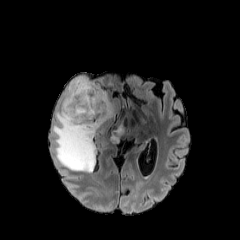
FLAIR MR image.
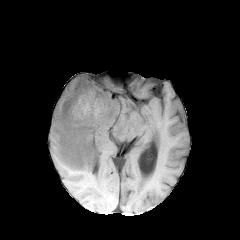
T1-weighted MRI.
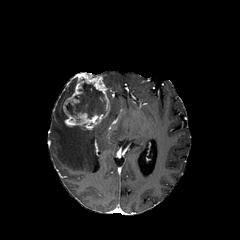
Post-contrast T1-weighted magnetic resonance.
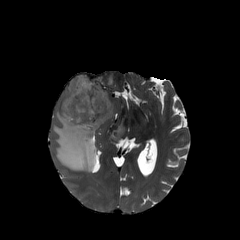
T2-weighted magnetic resonance of the same slice.
Axial plane. Head.
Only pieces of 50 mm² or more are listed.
The largest necrotic tumor core region is located at <bbox>65, 82, 105, 118</bbox>. The 2 largest peritumoral edema regions are located at <bbox>52, 77, 113, 172</bbox>, <bbox>111, 124, 124, 143</bbox>. The enhancing tumor is at <bbox>63, 73, 110, 130</bbox>.